FLAIR magnetic resonance.
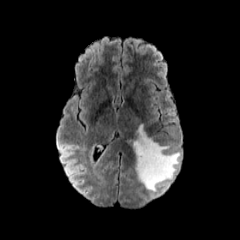
T1-weighted magnetic resonance.
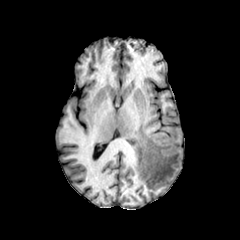
Post-contrast T1-weighted magnetic resonance.
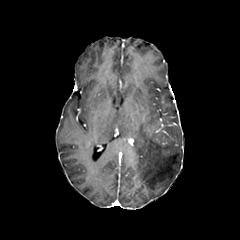
T2-weighted MRI.
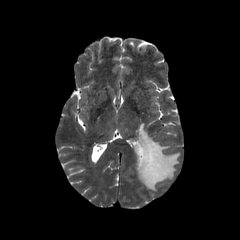
Brain | Axial slice
peritumoral edema at box=[128, 124, 180, 191]